Head; Axial plane; 240x240; Slice 135 of 155
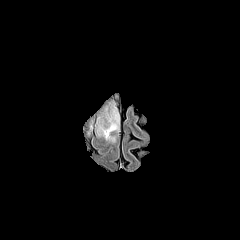
FLAIR MRI.
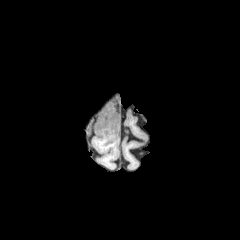
T1-weighted magnetic resonance.
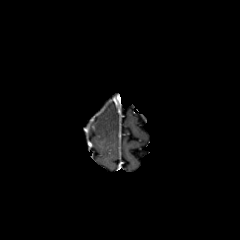
Post-contrast T1-weighted MR.
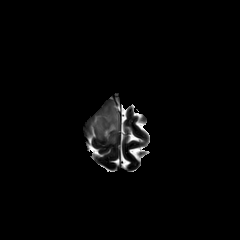
T2-weighted MRI.
peritumoral edema: bounding box <bbox>96, 105, 118, 142</bbox>